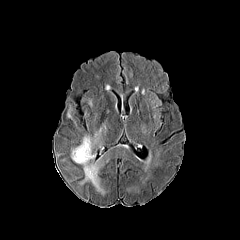
FLAIR MRI.
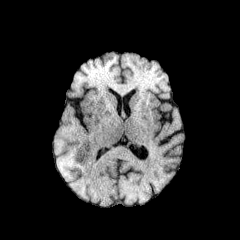
Same slice, T1-weighted MR image.
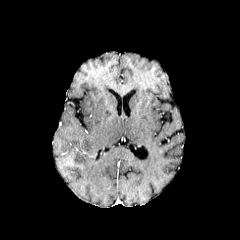
Post-contrast T1-weighted MR image of the same slice.
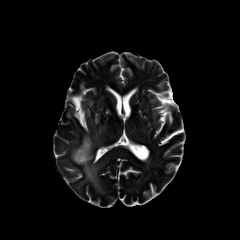
T2-weighted MR image.
Axial slice, Image size 240x240
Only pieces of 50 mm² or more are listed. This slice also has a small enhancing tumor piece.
* peritumoral edema: [x1=71, y1=136, x2=104, y2=193], [x1=94, y1=128, x2=101, y2=142]